240x240 px
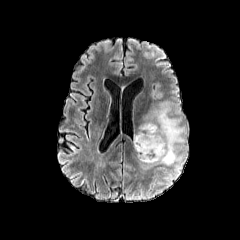
FLAIR MR image.
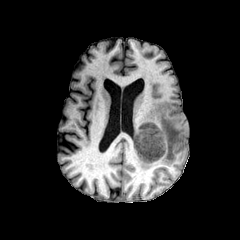
T1-weighted MR of the same slice.
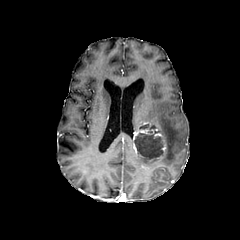
Post-contrast T1-weighted MR.
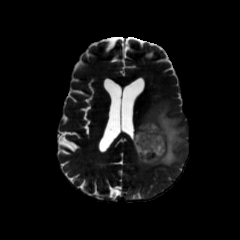
T2-weighted MR image.
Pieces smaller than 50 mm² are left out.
The necrotic tumor core is located at bbox=[134, 124, 163, 159]. The largest enhancing tumor region lies within bbox=[133, 121, 166, 162]. The peritumoral edema is bounded by bbox=[137, 101, 187, 170].